FLAIR magnetic resonance.
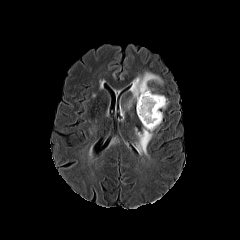
T1-weighted magnetic resonance.
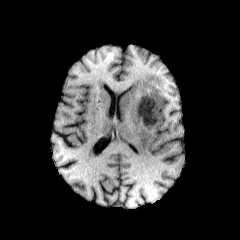
Post-contrast T1-weighted MRI.
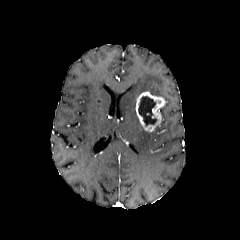
T2-weighted MR.
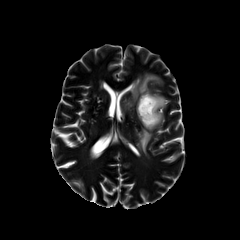
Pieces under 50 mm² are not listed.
necrotic tumor core: 138:96:156:125 | enhancing tumor: 136:91:166:132 | peritumoral edema: 135:128:152:156, 127:72:164:108